FLAIR MRI.
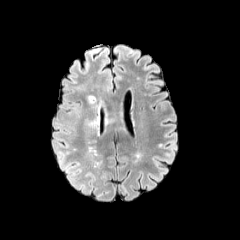
T1-weighted MR image.
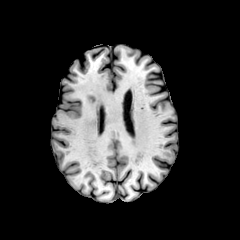
Post-contrast T1-weighted magnetic resonance.
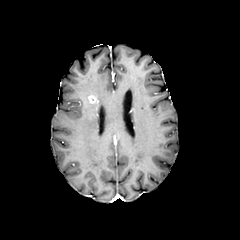
T2-weighted MRI.
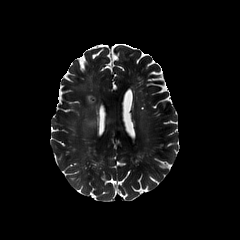
Axial slice; Head
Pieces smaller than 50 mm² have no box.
Annotated regions:
* peritumoral edema: box=[75, 81, 95, 105]; box=[84, 118, 96, 128]
* enhancing tumor: box=[88, 95, 96, 103]